FLAIR magnetic resonance.
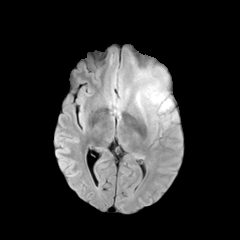
T1-weighted magnetic resonance.
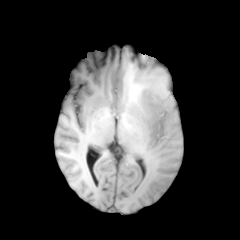
Post-contrast T1-weighted MR.
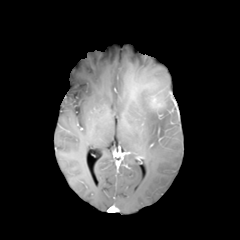
T2-weighted magnetic resonance.
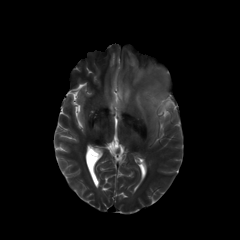
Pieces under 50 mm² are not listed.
enhancing tumor: bbox(150, 98, 163, 107) | peritumoral edema: bbox(136, 80, 173, 114)